Slice index 129; Axial plane
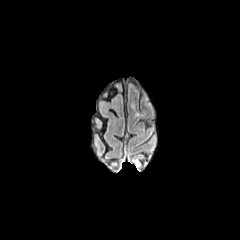
FLAIR MR image.
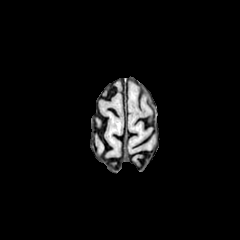
Same slice, T1-weighted magnetic resonance.
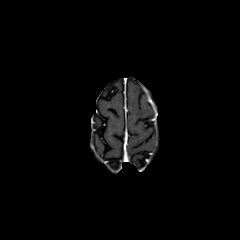
Post-contrast T1-weighted magnetic resonance of the same slice.
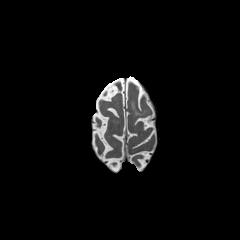
T2-weighted MR image.
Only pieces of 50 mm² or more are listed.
• peritumoral edema: <bbox>131, 101, 145, 115</bbox>